Image width 240 mm
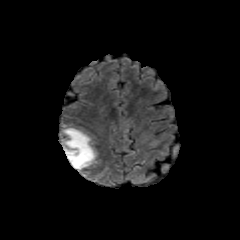
FLAIR magnetic resonance.
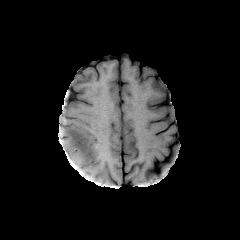
T1-weighted magnetic resonance of the same slice.
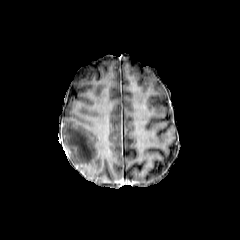
Same slice, post-contrast T1-weighted MR.
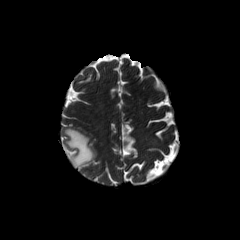
T2-weighted MRI.
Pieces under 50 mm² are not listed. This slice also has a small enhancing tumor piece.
peritumoral edema at [x1=62, y1=126, x2=97, y2=176]